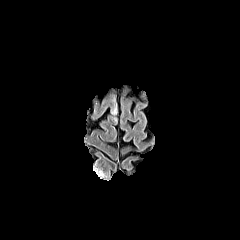
FLAIR MRI.
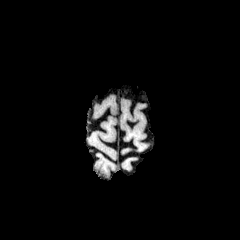
T1-weighted MR of the same slice.
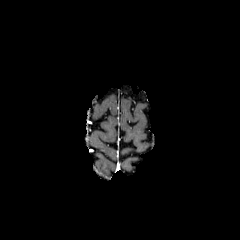
Same slice, post-contrast T1-weighted MRI.
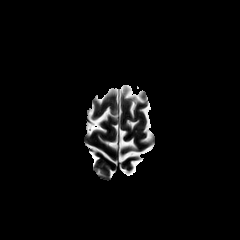
T2-weighted MR.
240x240; Axial view
The peritumoral edema is located at <bbox>110, 96, 117, 122</bbox>.